FLAIR MR.
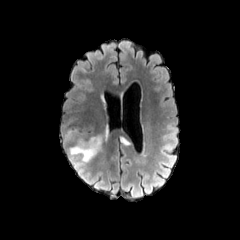
T1-weighted magnetic resonance.
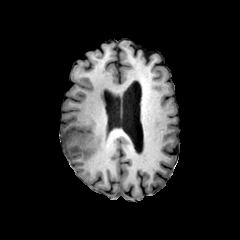
Post-contrast T1-weighted MR image.
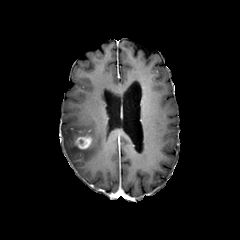
T2-weighted MR image.
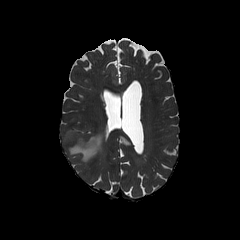
Head | 240x240
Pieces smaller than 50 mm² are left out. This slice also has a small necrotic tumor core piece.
enhancing_tumor:
  - 75:135:92:149
peritumoral_edema:
  - 68:124:109:162
  - 63:129:81:141
  - 120:136:130:144